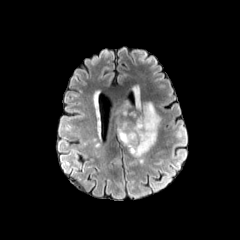
FLAIR MR.
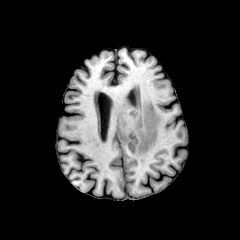
T1-weighted MRI.
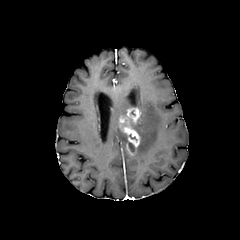
Same slice, post-contrast T1-weighted MR.
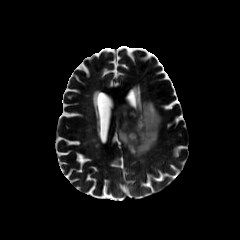
T2-weighted magnetic resonance.
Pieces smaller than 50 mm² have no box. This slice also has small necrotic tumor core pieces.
<segmentation>
  <enhancing_tumor>x1=117 y1=106 x2=140 y2=155</enhancing_tumor>
  <peritumoral_edema>x1=115 y1=89 x2=160 y2=157</peritumoral_edema>
</segmentation>